FLAIR MR image.
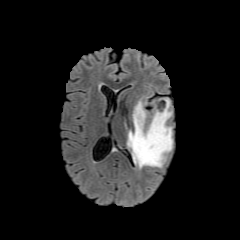
T1-weighted MR.
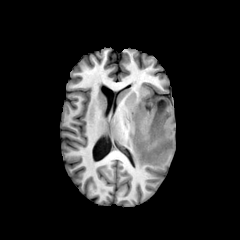
Post-contrast T1-weighted MRI.
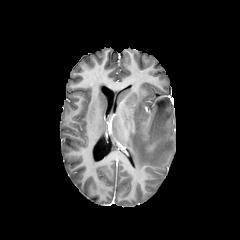
T2-weighted MRI.
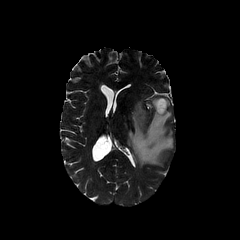
Head, Axial slice, 240x240
peritumoral edema: l=127, t=98, r=173, b=168